FLAIR MRI.
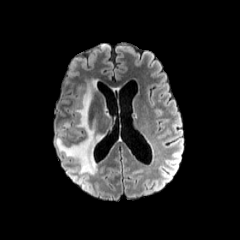
T1-weighted magnetic resonance.
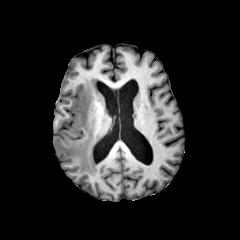
Post-contrast T1-weighted MR image.
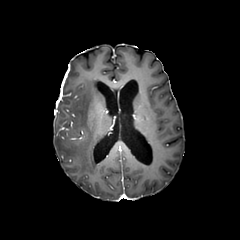
T2-weighted MR image.
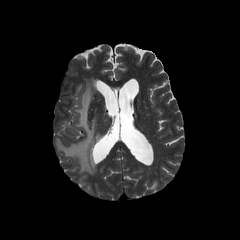
Axial view, 240x240 px
peritumoral_edema:
  - left=56, top=80, right=102, bottom=174